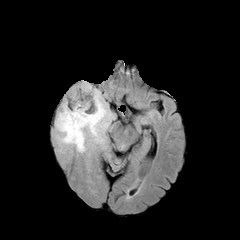
FLAIR MR.
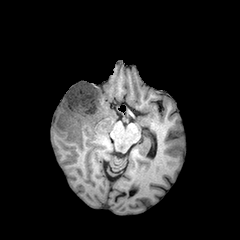
T1-weighted MR image.
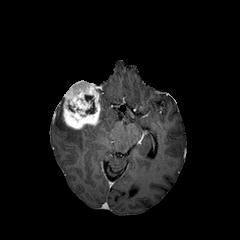
Post-contrast T1-weighted magnetic resonance of the same slice.
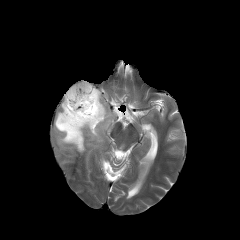
T2-weighted magnetic resonance.
Head
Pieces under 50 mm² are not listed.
necrotic tumor core — bbox=[86, 100, 95, 113]
enhancing tumor — bbox=[62, 80, 101, 129]
peritumoral edema — bbox=[55, 94, 113, 152]